FLAIR MR image.
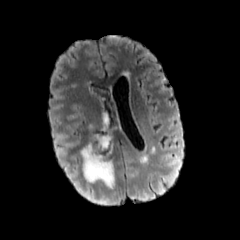
T1-weighted MR.
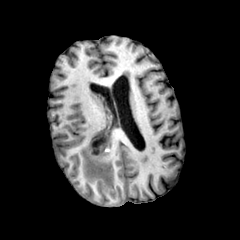
Post-contrast T1-weighted MRI.
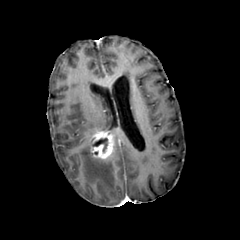
T2-weighted MRI.
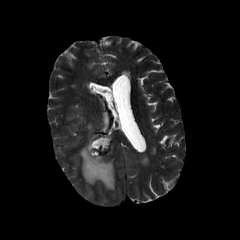
240x240
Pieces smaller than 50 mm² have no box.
necrotic tumor core at box=[92, 138, 107, 151]
enhancing tumor at box=[91, 131, 113, 158]
peritumoral edema at box=[102, 114, 108, 130]; box=[80, 143, 114, 188]